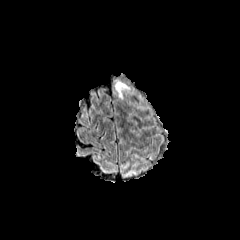
FLAIR MRI.
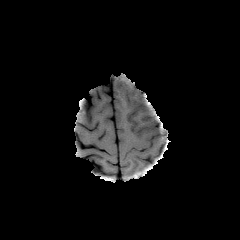
T1-weighted magnetic resonance.
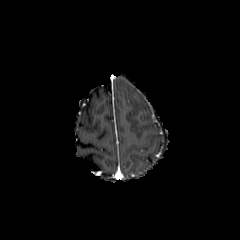
Same slice, post-contrast T1-weighted magnetic resonance.
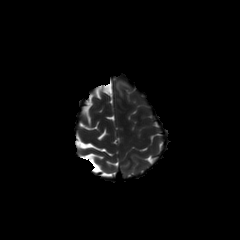
Same slice, T2-weighted MRI.
240x240 px; Axial view; Brain
Findings:
* peritumoral edema: 115,81,129,98